Image covers 240 mm x 240 mm. Axial slice.
FLAIR magnetic resonance.
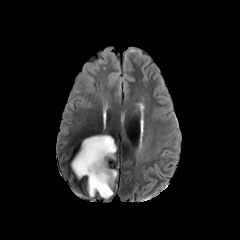
T1-weighted magnetic resonance.
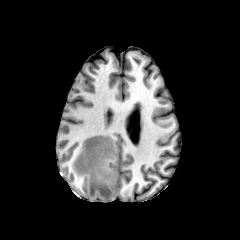
Post-contrast T1-weighted MRI.
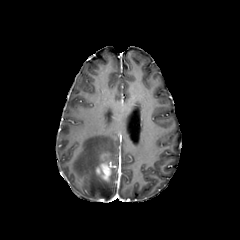
T2-weighted MR image.
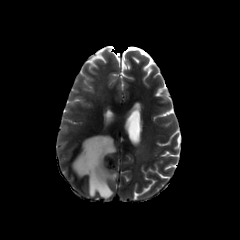
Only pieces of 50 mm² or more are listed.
Findings:
• enhancing tumor: bbox=[96, 162, 110, 180]
• peritumoral edema: bbox=[72, 135, 116, 198]